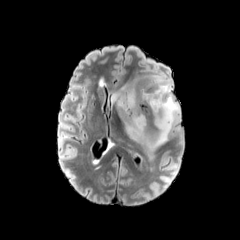
FLAIR MRI.
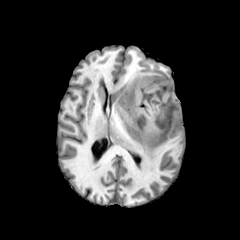
T1-weighted magnetic resonance.
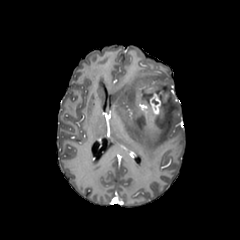
Post-contrast T1-weighted magnetic resonance of the same slice.
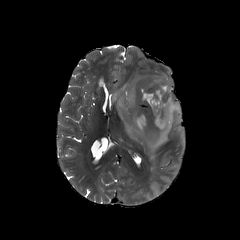
T2-weighted MR.
240x240 px.
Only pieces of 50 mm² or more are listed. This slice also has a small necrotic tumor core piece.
The enhancing tumor lies within box=[149, 91, 163, 120]. The peritumoral edema lies within box=[111, 70, 180, 157].